FLAIR magnetic resonance.
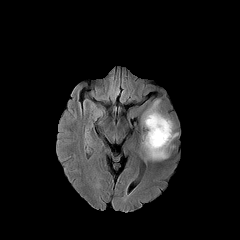
T1-weighted MR image.
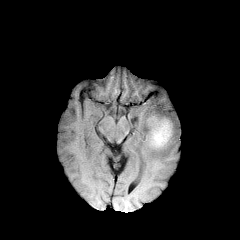
Post-contrast T1-weighted MR image.
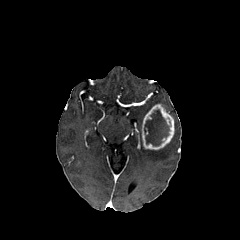
T2-weighted magnetic resonance.
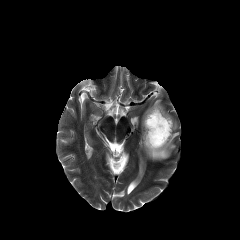
Head. Axial view.
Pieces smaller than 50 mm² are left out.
{
  "necrotic_tumor_core": [
    "(left=144, top=110, right=169, bottom=145)"
  ],
  "enhancing_tumor": [
    "(left=141, top=104, right=174, bottom=149)"
  ],
  "peritumoral_edema": [
    "(left=142, top=99, right=160, bottom=122)",
    "(left=143, top=132, right=178, bottom=160)"
  ]
}